Image covers 240 mm x 240 mm. Head.
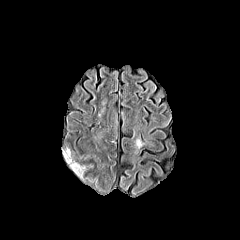
FLAIR MR.
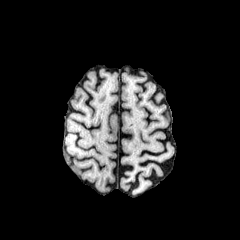
T1-weighted MRI of the same slice.
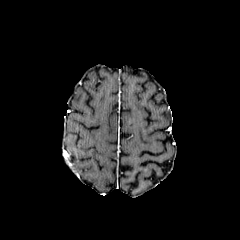
Post-contrast T1-weighted MR of the same slice.
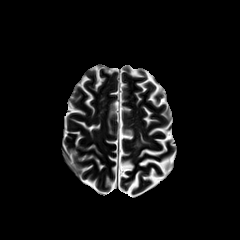
Same slice, T2-weighted MR image.
peritumoral edema = l=67, t=149, r=85, b=178